Brain
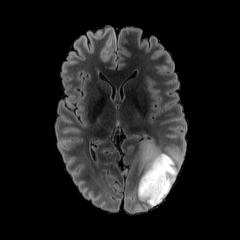
FLAIR MR.
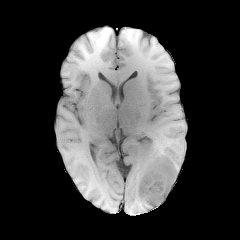
T1-weighted magnetic resonance.
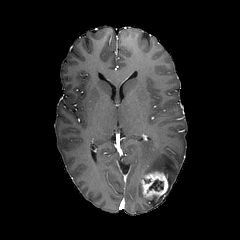
Post-contrast T1-weighted magnetic resonance of the same slice.
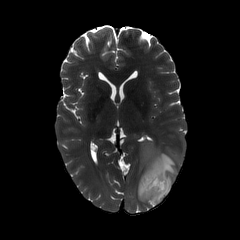
Same slice, T2-weighted magnetic resonance.
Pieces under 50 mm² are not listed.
{"peritumoral_edema": [{"x1": 137, "y1": 140, "x2": 178, "y2": 206}], "enhancing_tumor": [{"x1": 141, "y1": 171, "x2": 168, "y2": 200}], "necrotic_tumor_core": [{"x1": 149, "y1": 179, "x2": 163, "y2": 190}]}